Axial plane; Image width 240 mm, 1.00 mm slice spacing
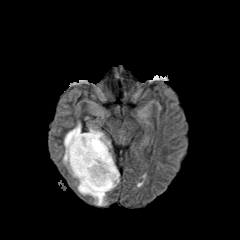
FLAIR magnetic resonance.
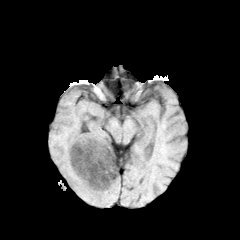
Same slice, T1-weighted magnetic resonance.
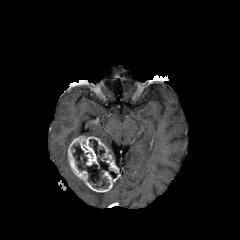
Same slice, post-contrast T1-weighted MR.
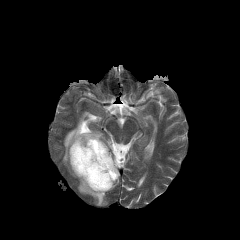
T2-weighted magnetic resonance.
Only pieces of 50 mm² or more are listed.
2 necrotic tumor core regions appear at 89,139,104,156; 72,144,116,188. The largest enhancing tumor region is at 67,135,120,192. The largest peritumoral edema region lies within 63,122,111,205.